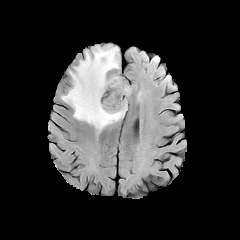
FLAIR MR.
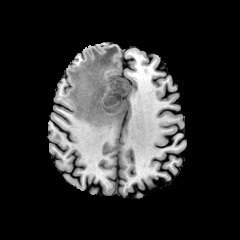
T1-weighted MR image.
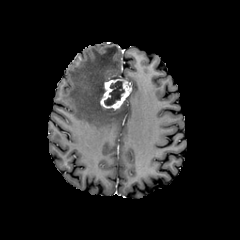
Post-contrast T1-weighted MR.
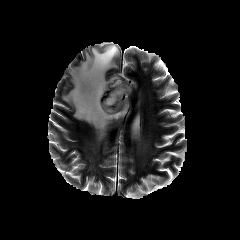
T2-weighted MRI of the same slice.
Head
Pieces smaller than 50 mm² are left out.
enhancing_tumor:
  - [x1=100, y1=79, x2=131, y2=109]
peritumoral_edema:
  - [x1=61, y1=45, x2=127, y2=132]
necrotic_tumor_core:
  - [x1=104, y1=81, x2=124, y2=105]